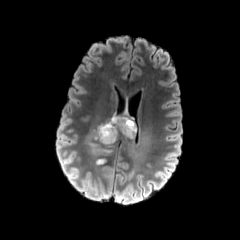
FLAIR MR image.
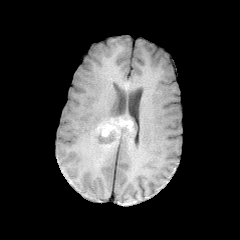
T1-weighted magnetic resonance.
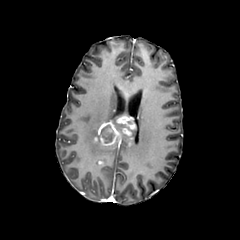
Post-contrast T1-weighted magnetic resonance.
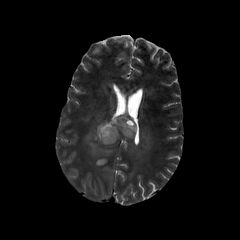
T2-weighted MR image.
240x240 | Head
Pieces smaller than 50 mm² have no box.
enhancing tumor = l=94, t=115, r=135, b=145
peritumoral edema = l=84, t=123, r=113, b=165; l=108, t=115, r=130, b=133; l=123, t=123, r=151, b=168
necrotic tumor core = l=100, t=125, r=114, b=143